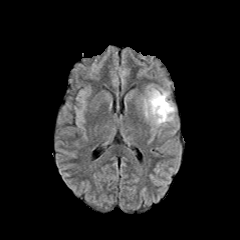
FLAIR magnetic resonance.
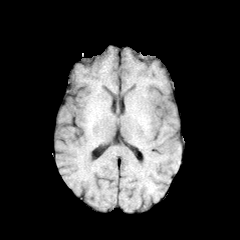
T1-weighted MR of the same slice.
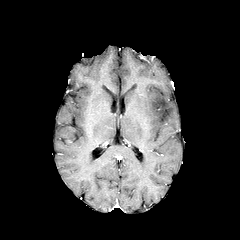
Post-contrast T1-weighted MR.
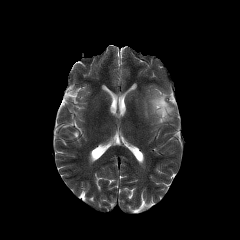
T2-weighted MR.
Brain. 240x240.
peritumoral edema at <box>144,89,174,124</box>